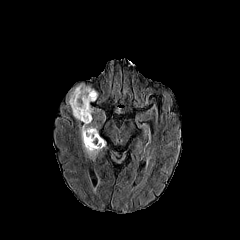
FLAIR MR image.
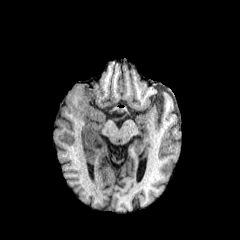
T1-weighted MRI.
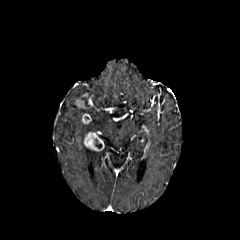
Post-contrast T1-weighted MRI.
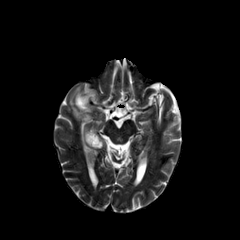
Same slice, T2-weighted MR image.
240x240
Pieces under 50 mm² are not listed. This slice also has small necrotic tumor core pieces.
Findings:
- enhancing tumor: l=83, t=131, r=104, b=151; l=75, t=93, r=93, b=109; l=82, t=113, r=91, b=124
- peritumoral edema: l=68, t=84, r=104, b=159